FLAIR MR.
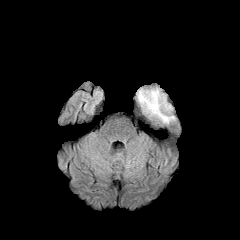
T1-weighted MRI.
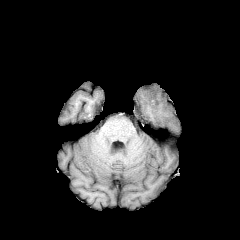
Post-contrast T1-weighted MR.
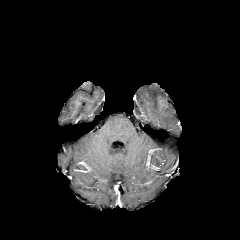
T2-weighted magnetic resonance.
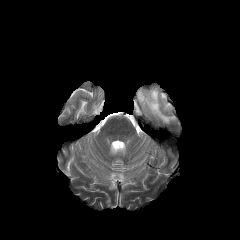
Image size 240x240; Brain
peritumoral edema: 137:87:175:123